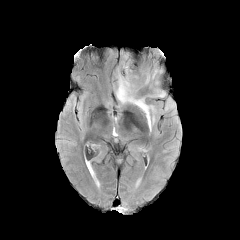
FLAIR MRI.
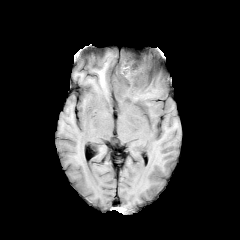
T1-weighted MR image of the same slice.
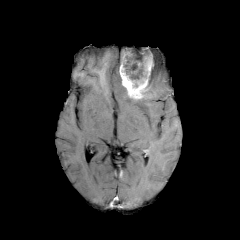
Post-contrast T1-weighted MR image.
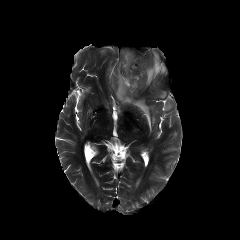
T2-weighted MRI of the same slice.
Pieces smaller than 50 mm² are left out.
Annotated regions:
• peritumoral edema: 115 58 166 130
• enhancing tumor: 119 51 156 99
• necrotic tumor core: 124 50 151 79